240x240; Brain
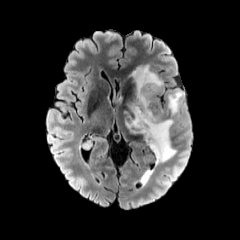
FLAIR MRI.
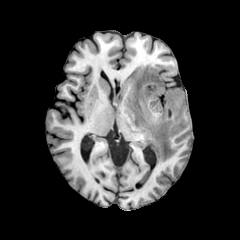
Same slice, T1-weighted MR image.
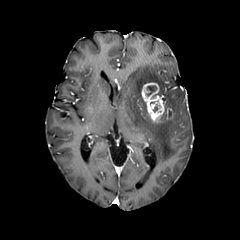
Post-contrast T1-weighted magnetic resonance of the same slice.
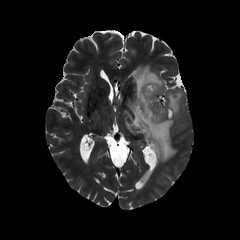
T2-weighted MRI.
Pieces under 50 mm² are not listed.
The 2 largest peritumoral edema regions are bounded by (125,64,176,164), (168,90,184,114). 2 enhancing tumor regions appear at (141,82,164,122), (166,108,173,119). The largest necrotic tumor core region appears at (146,86,156,95).